240x240. Slice 83 of 155.
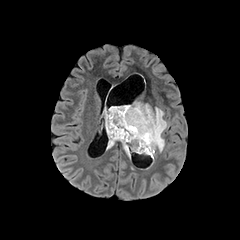
FLAIR MR.
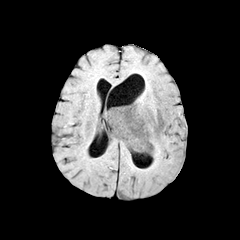
T1-weighted MR image of the same slice.
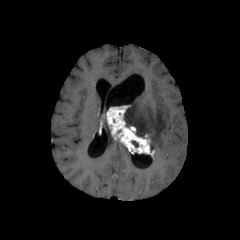
Post-contrast T1-weighted magnetic resonance of the same slice.
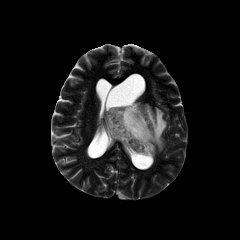
Same slice, T2-weighted MR.
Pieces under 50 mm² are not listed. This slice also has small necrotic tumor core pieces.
peritumoral_edema:
  - left=105, top=119, right=115, bottom=149
  - left=124, top=101, right=167, bottom=152
enhancing_tumor:
  - left=105, top=105, right=154, bottom=156